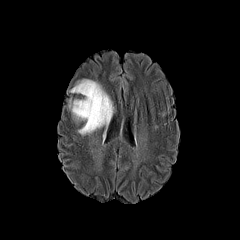
FLAIR MR.
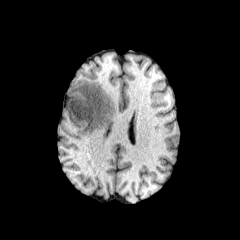
T1-weighted magnetic resonance.
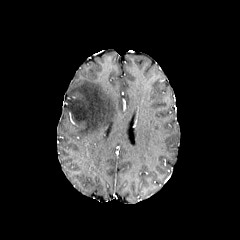
Same slice, post-contrast T1-weighted MR.
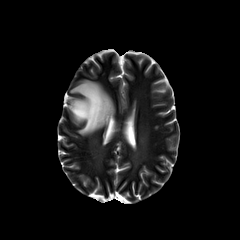
T2-weighted MRI.
Head
{
  "peritumoral_edema": [
    "box=[69, 79, 114, 135]"
  ]
}